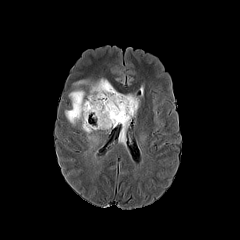
FLAIR MRI.
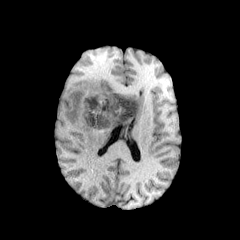
T1-weighted MR.
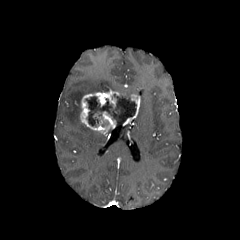
Same slice, post-contrast T1-weighted MR.
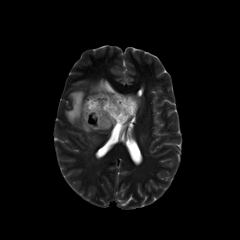
T2-weighted MR.
240x240 px
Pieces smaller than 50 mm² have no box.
• enhancing tumor: l=80, t=89, r=125, b=132; l=122, t=94, r=140, b=125
• peritumoral edema: l=65, t=90, r=85, b=125; l=81, t=123, r=96, b=142; l=90, t=78, r=115, b=92
• necrotic tumor core: l=86, t=94, r=136, b=126